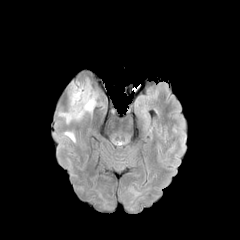
FLAIR MR image.
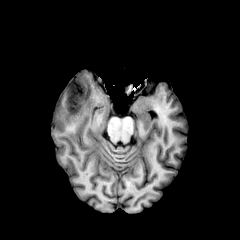
T1-weighted MR image.
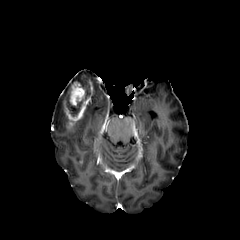
Post-contrast T1-weighted MRI.
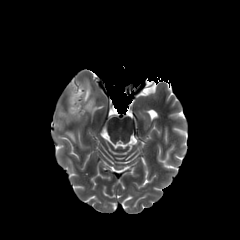
Same slice, T2-weighted MR image.
Image size 240x240 | Head
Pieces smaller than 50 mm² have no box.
enhancing tumor — [63, 78, 93, 124]
necrotic tumor core — [67, 100, 82, 116], [78, 76, 90, 99]
peritumoral edema — [64, 132, 75, 142], [85, 92, 97, 113]